Brain, Slice 81/155, Axial plane
FLAIR MR image.
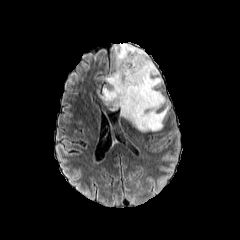
T1-weighted magnetic resonance.
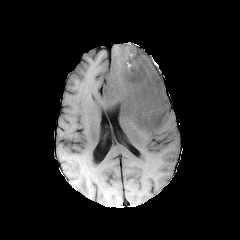
Post-contrast T1-weighted magnetic resonance.
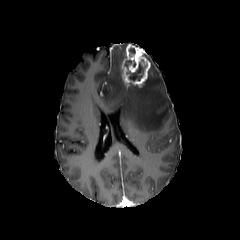
T2-weighted MRI.
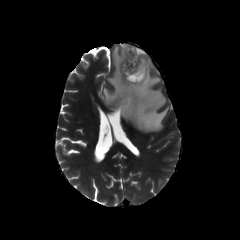
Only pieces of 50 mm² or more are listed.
The 2 largest necrotic tumor core regions are located at 127:62:145:80, 128:47:135:56. The peritumoral edema appears at 102:43:169:131. The largest enhancing tumor region is bounded by 121:44:150:87.